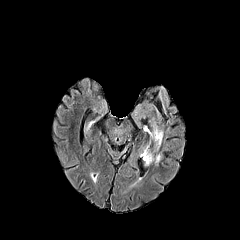
FLAIR magnetic resonance.
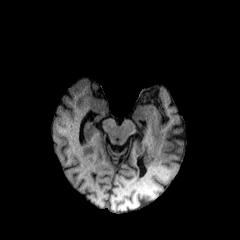
T1-weighted magnetic resonance of the same slice.
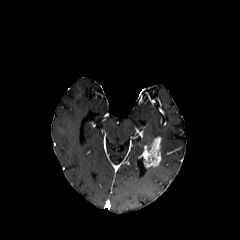
Post-contrast T1-weighted magnetic resonance.
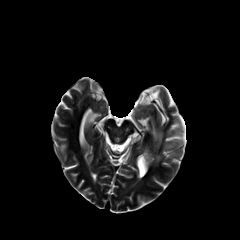
T2-weighted MR image of the same slice.
Axial plane, Brain
peritumoral edema at 144,124,162,139
enhancing tumor at 144,137,161,167